240x240 px. Axial plane. Slice index 96. Brain.
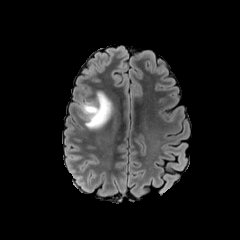
FLAIR magnetic resonance.
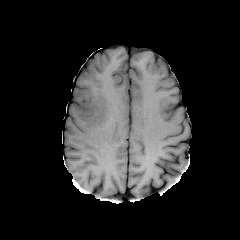
Same slice, T1-weighted MR.
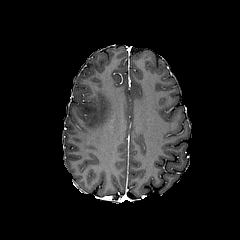
Post-contrast T1-weighted MR image of the same slice.
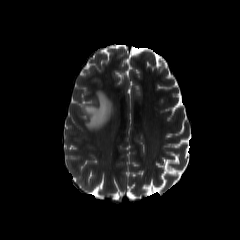
Same slice, T2-weighted MR.
Findings:
- peritumoral edema: (x1=79, y1=91, x2=113, y2=129)